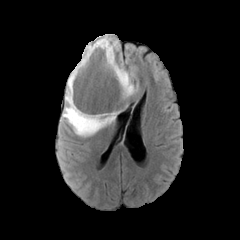
FLAIR MR.
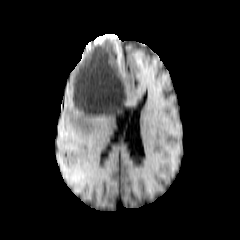
Same slice, T1-weighted magnetic resonance.
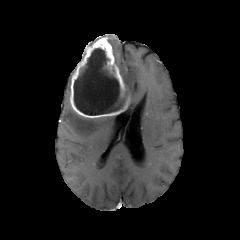
Post-contrast T1-weighted MR image.
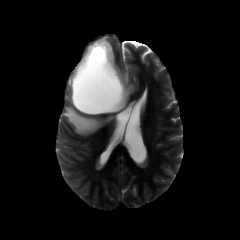
T2-weighted MRI of the same slice.
240x240 px
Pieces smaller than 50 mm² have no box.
necrotic tumor core: (74,48,124,115)
enhancing tumor: (70,35,129,118)
peritumoral edema: (109,38,119,52), (118,63,137,96), (62,76,115,136)